Slice 68/155. Axial plane.
FLAIR MRI.
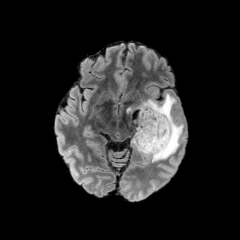
T1-weighted magnetic resonance.
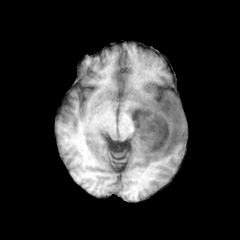
Post-contrast T1-weighted MR.
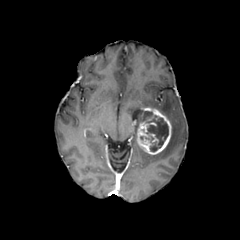
T2-weighted MR image.
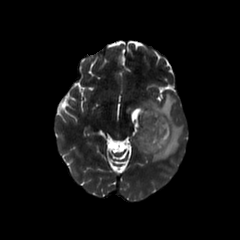
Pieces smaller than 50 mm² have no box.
<segmentation>
  <peritumoral_edema>l=133, t=93, r=183, b=161</peritumoral_edema>
  <enhancing_tumor>l=137, t=107, r=171, b=154</enhancing_tumor>
  <necrotic_tumor_core>l=144, t=111, r=152, b=119; l=146, t=115, r=168, b=151</necrotic_tumor_core>
</segmentation>